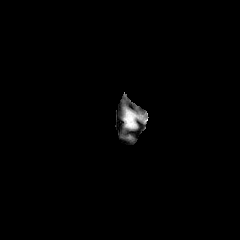
FLAIR MRI.
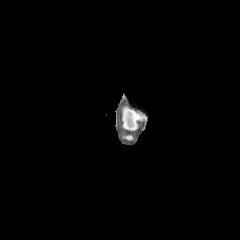
Same slice, T1-weighted MR.
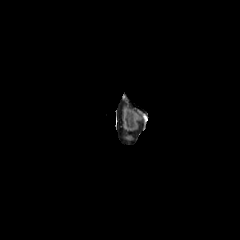
Post-contrast T1-weighted MR image of the same slice.
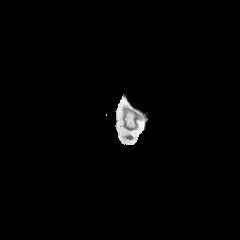
T2-weighted MR.
Axial view. Head.
The peritumoral edema is located at x1=124 y1=110 x2=136 y2=127.